FLAIR MRI.
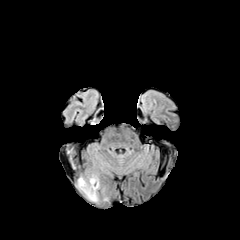
T1-weighted magnetic resonance.
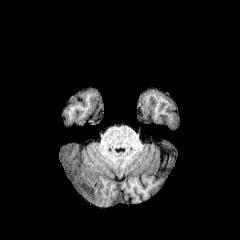
Post-contrast T1-weighted MR.
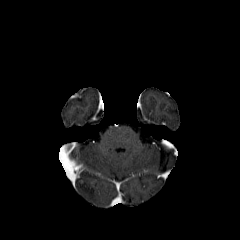
T2-weighted MR.
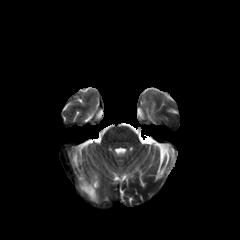
Head
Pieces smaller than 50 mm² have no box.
{"peritumoral_edema": ["[78, 176, 98, 202]"]}